240x240 px
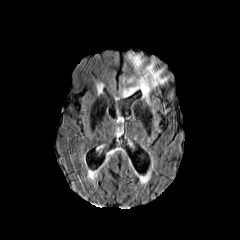
FLAIR MR image.
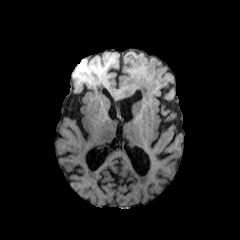
Same slice, T1-weighted MR image.
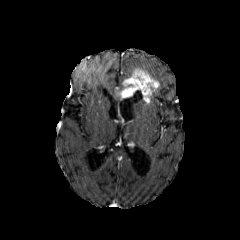
Post-contrast T1-weighted MR.
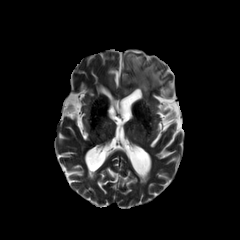
T2-weighted MRI.
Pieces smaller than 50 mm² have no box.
Findings:
• peritumoral edema: 128, 53, 167, 84
• enhancing tumor: 119, 68, 159, 103